Head | 240x240 | Slice index 105
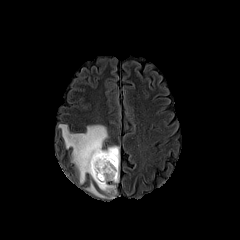
FLAIR MRI.
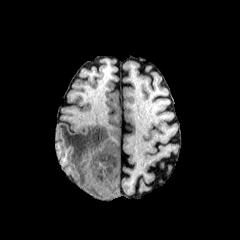
T1-weighted magnetic resonance.
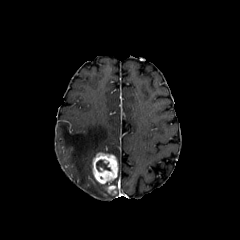
Post-contrast T1-weighted magnetic resonance.
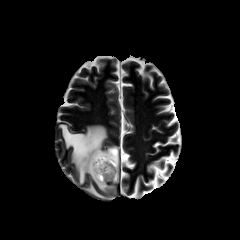
T2-weighted MR image.
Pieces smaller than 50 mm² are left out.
The necrotic tumor core is located at <box>96,160,110,171</box>. The enhancing tumor lies within <box>92,152,118,194</box>. The largest peritumoral edema region is bounded by <box>59,124,119,198</box>.